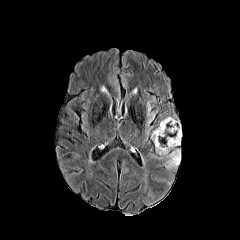
FLAIR MRI.
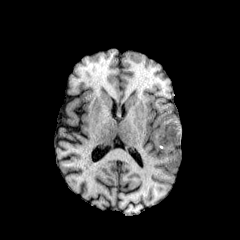
Same slice, T1-weighted MRI.
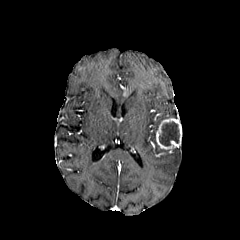
Post-contrast T1-weighted MR image of the same slice.
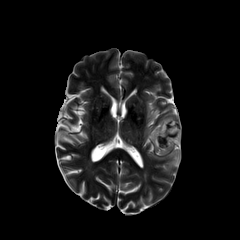
T2-weighted MR image of the same slice.
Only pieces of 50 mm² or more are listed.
enhancing tumor: left=156, top=118, right=181, bottom=149
peritumoral edema: left=151, top=128, right=169, bottom=154; left=147, top=112, right=154, bottom=125; left=165, top=148, right=180, bottom=168
necrotic tumor core: left=159, top=122, right=179, bottom=145